FLAIR MRI.
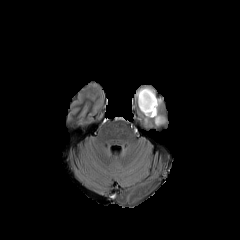
T1-weighted MR.
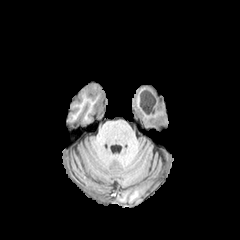
Post-contrast T1-weighted MR image.
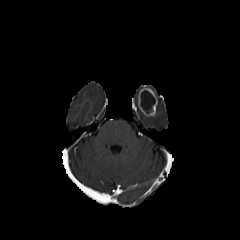
T2-weighted MR image.
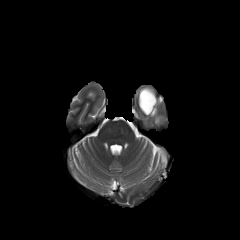
Head.
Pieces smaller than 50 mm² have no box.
enhancing tumor at {"x1": 138, "y1": 85, "x2": 157, "y2": 116}
necrotic tumor core at {"x1": 140, "y1": 90, "x2": 155, "y2": 113}
peritumoral edema at {"x1": 144, "y1": 97, "x2": 165, "y2": 129}